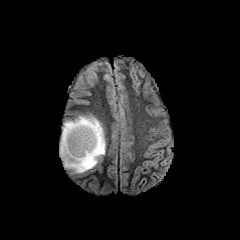
FLAIR MR.
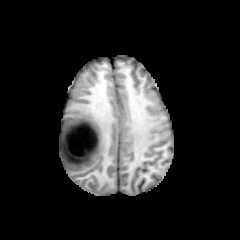
Same slice, T1-weighted magnetic resonance.
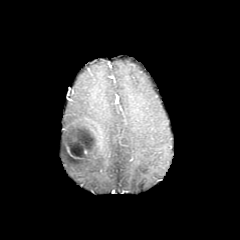
Post-contrast T1-weighted MRI.
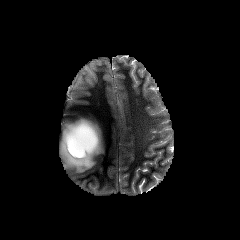
T2-weighted magnetic resonance of the same slice.
Image size 240x240; Head
The peritumoral edema is bounded by (x1=59, y1=115, x2=105, y2=173). The necrotic tumor core lies within (x1=65, y1=121, x2=98, y2=156). The enhancing tumor is at (x1=63, y1=119, x2=100, y2=158).